Axial plane. Image width 240 mm, 1.00 mm slice spacing.
FLAIR MRI.
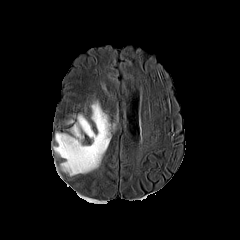
T1-weighted MRI.
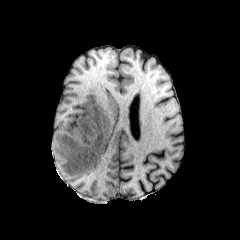
Post-contrast T1-weighted magnetic resonance.
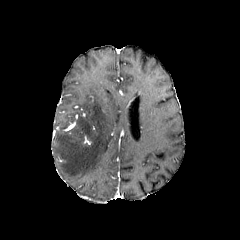
T2-weighted MRI.
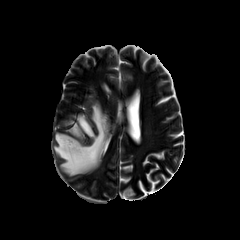
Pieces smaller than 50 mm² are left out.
Segmented structures:
* peritumoral edema: region(53, 101, 110, 176)